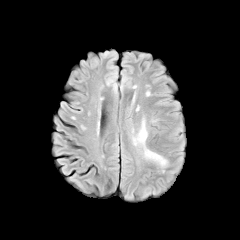
FLAIR MR image.
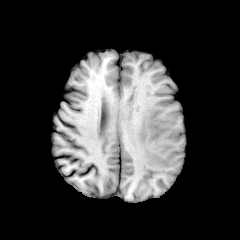
T1-weighted MRI.
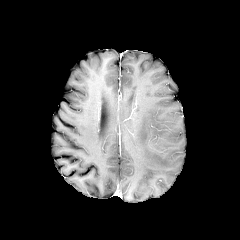
Post-contrast T1-weighted MR image of the same slice.
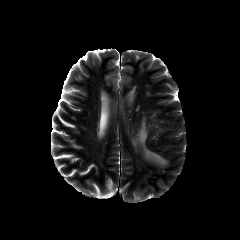
T2-weighted MR.
Brain
peritumoral edema — (133,120,167,166)